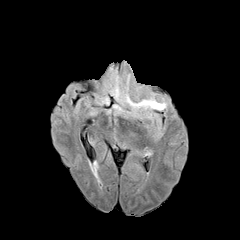
FLAIR MR image.
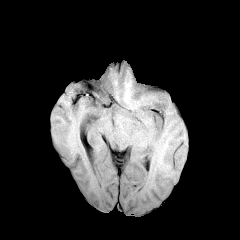
T1-weighted magnetic resonance.
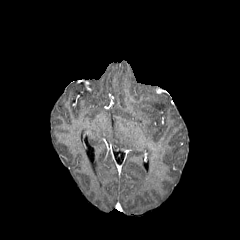
Same slice, post-contrast T1-weighted magnetic resonance.
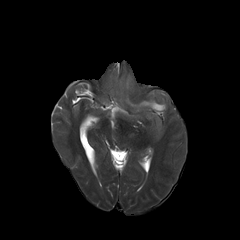
T2-weighted MRI of the same slice.
Axial plane, 240x240 px, Head
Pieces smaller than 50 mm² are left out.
The largest peritumoral edema region is located at 126, 96, 166, 111.